FLAIR MRI.
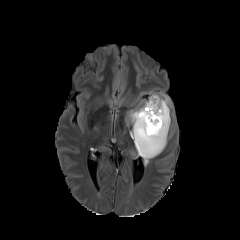
T1-weighted MRI.
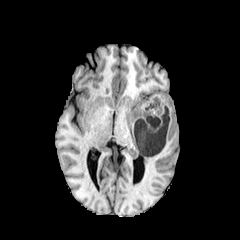
Post-contrast T1-weighted magnetic resonance.
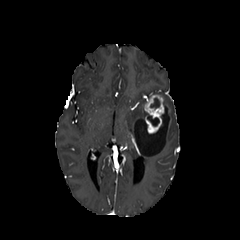
T2-weighted MRI.
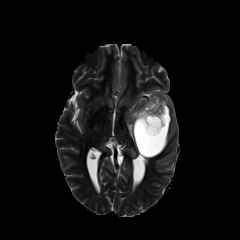
Head
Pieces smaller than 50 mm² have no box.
<segmentation>
  <necrotic_tumor_core><box>147,114,159,126</box>, <box>150,98,159,108</box></necrotic_tumor_core>
  <peritumoral_edema><box>126,91,172,165</box></peritumoral_edema>
  <enhancing_tumor><box>144,94,164,133</box></enhancing_tumor>
</segmentation>